FLAIR MRI.
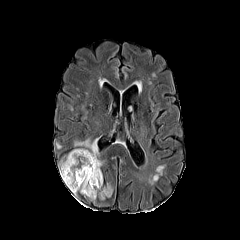
T1-weighted MR.
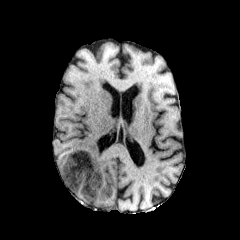
Post-contrast T1-weighted MR.
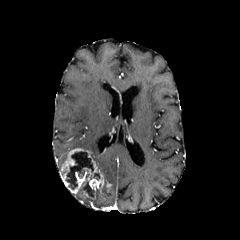
T2-weighted MR image.
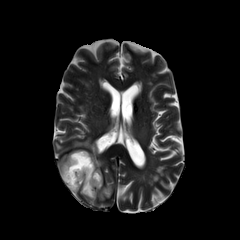
Axial slice; 240x240 px; Head
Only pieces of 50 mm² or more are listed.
enhancing_tumor:
  - <box>59,148,103,193</box>
peritumoral_edema:
  - <box>74,139,102,168</box>
  - <box>91,187,112,200</box>
necrotic_tumor_core:
  - <box>65,151,93,189</box>
  - <box>83,181,93,196</box>